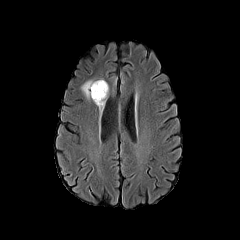
FLAIR MR image.
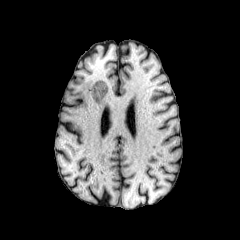
T1-weighted MR.
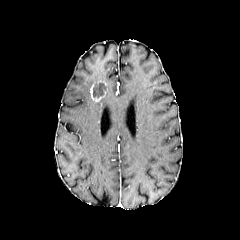
Post-contrast T1-weighted MR image.
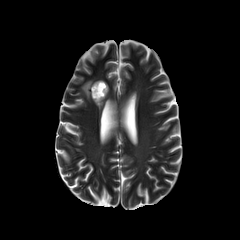
Same slice, T2-weighted magnetic resonance.
240x240; Axial plane
peritumoral edema = left=81, top=80, right=96, bottom=99; left=95, top=85, right=108, bottom=109
enhancing tumor = left=90, top=80, right=107, bottom=102
necrotic tumor core = left=93, top=83, right=106, bottom=97